FLAIR magnetic resonance.
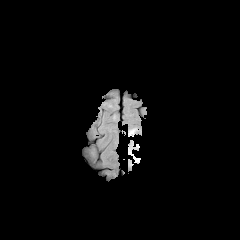
T1-weighted MR image.
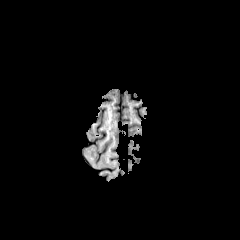
Post-contrast T1-weighted MRI.
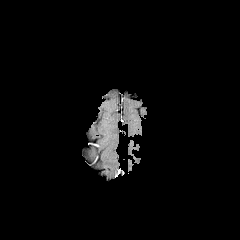
T2-weighted MR.
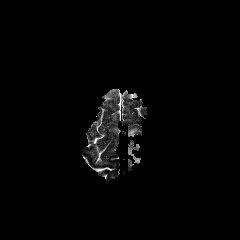
Head
Findings:
• peritumoral edema: 128, 128, 137, 136; 128, 144, 140, 162